FLAIR MR image.
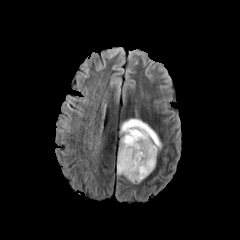
T1-weighted MR.
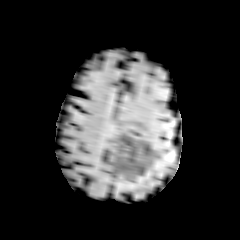
Post-contrast T1-weighted MRI.
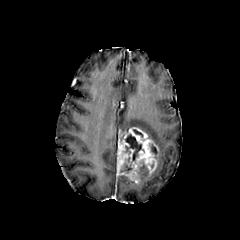
T2-weighted MRI.
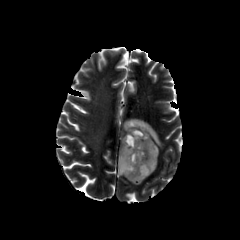
Brain
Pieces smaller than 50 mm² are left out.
peritumoral edema = {"x1": 121, "y1": 119, "x2": 162, "y2": 149}
enhancing tumor = {"x1": 116, "y1": 127, "x2": 159, "y2": 182}
necrotic tumor core = {"x1": 125, "y1": 135, "x2": 141, "y2": 160}, {"x1": 140, "y1": 164, "x2": 148, "y2": 174}